Brain | Image width 240 mm, 1.00 mm slice spacing
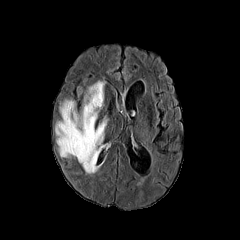
FLAIR MR image.
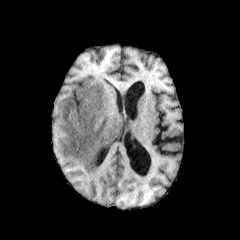
T1-weighted MRI.
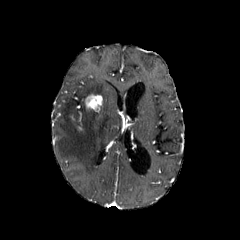
Post-contrast T1-weighted MR of the same slice.
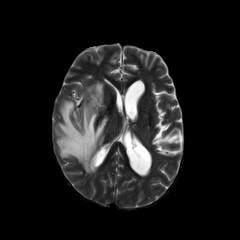
T2-weighted MRI.
enhancing tumor — box=[85, 94, 102, 112]
peritumoral edema — box=[55, 81, 107, 173]